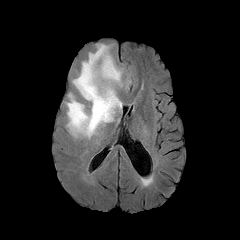
FLAIR magnetic resonance.
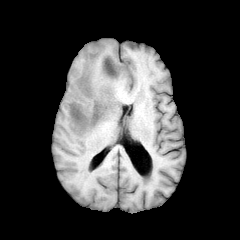
T1-weighted MRI of the same slice.
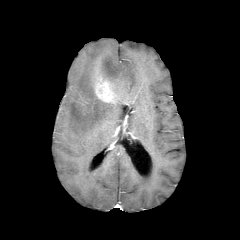
Post-contrast T1-weighted MR.
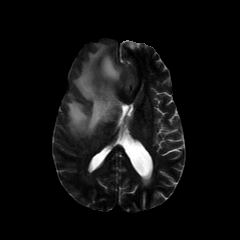
T2-weighted MR image of the same slice.
Axial view
- enhancing tumor: 95,77,116,104
- peritumoral edema: 66,43,122,138